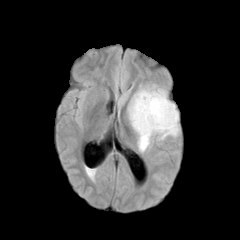
FLAIR MR.
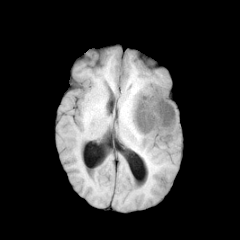
T1-weighted MR image.
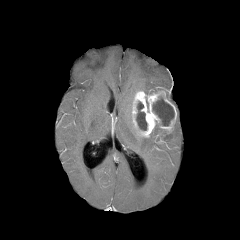
Post-contrast T1-weighted magnetic resonance.
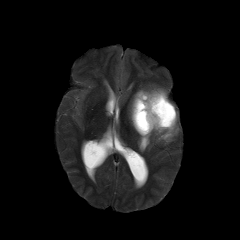
Same slice, T2-weighted MR.
Axial plane; Brain
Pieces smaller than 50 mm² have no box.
enhancing tumor: bounding box rect(131, 87, 177, 142)
peritumoral edema: bounding box rect(128, 96, 133, 128); rect(138, 85, 158, 93); rect(161, 113, 179, 140); rect(137, 129, 159, 152)
necrotic tumor core: bounding box rect(153, 97, 174, 125); rect(136, 102, 146, 130)